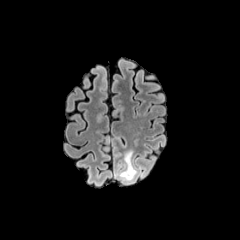
FLAIR MR.
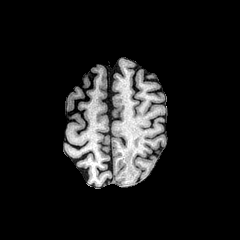
T1-weighted MR.
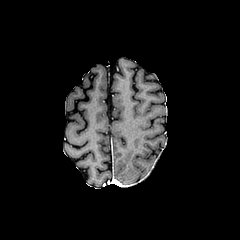
Post-contrast T1-weighted magnetic resonance.
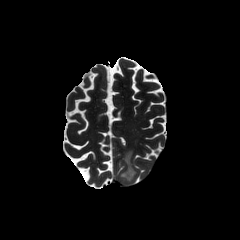
T2-weighted MR of the same slice.
Axial slice, Brain
peritumoral edema — {"x1": 119, "y1": 151, "x2": 136, "y2": 181}